FLAIR MRI.
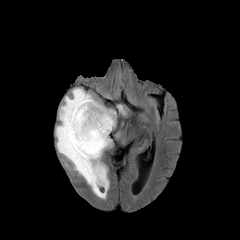
T1-weighted MR image.
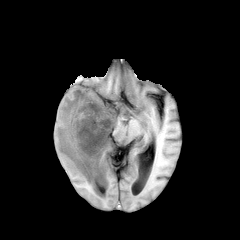
Post-contrast T1-weighted magnetic resonance.
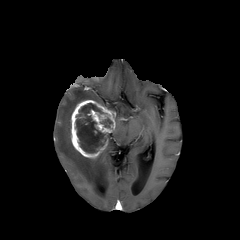
T2-weighted MR.
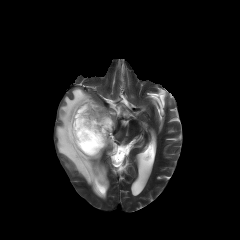
Axial view, Brain
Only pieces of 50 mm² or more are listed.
peritumoral edema: x1=56, y1=88, x2=109, y2=198; x1=117, y1=104, x2=126, y2=115 | enhancing tumor: x1=71, y1=100, x2=115, y2=159 | necrotic tumor core: x1=76, y1=103, x2=105, y2=152; x1=101, y1=118, x2=112, y2=127